FLAIR MR.
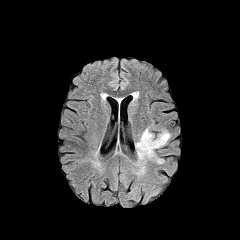
T1-weighted magnetic resonance.
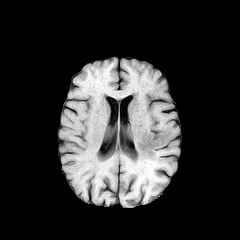
Post-contrast T1-weighted MR.
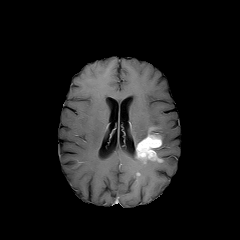
T2-weighted MR.
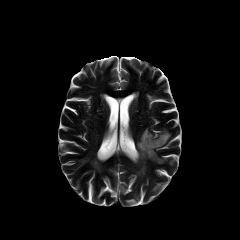
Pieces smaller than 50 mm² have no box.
Findings:
- enhancing tumor: {"x1": 136, "y1": 134, "x2": 162, "y2": 162}
- peritumoral edema: {"x1": 135, "y1": 126, "x2": 157, "y2": 147}, {"x1": 137, "y1": 159, "x2": 146, "y2": 174}, {"x1": 159, "y1": 129, "x2": 170, "y2": 146}